FLAIR MR.
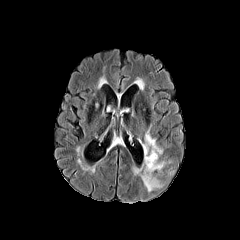
T1-weighted magnetic resonance.
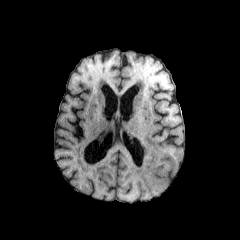
Post-contrast T1-weighted MR image.
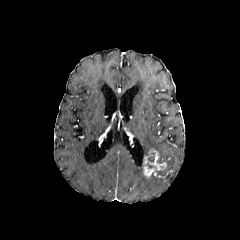
T2-weighted MR image.
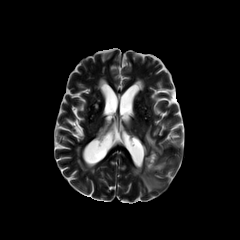
Axial view; Head
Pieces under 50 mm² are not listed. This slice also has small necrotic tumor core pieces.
<segmentation>
  <peritumoral_edema>[x1=133, y1=166, x2=161, y2=192], [x1=142, y1=129, x2=162, y2=156]</peritumoral_edema>
  <enhancing_tumor>[x1=143, y1=149, x2=165, y2=178]</enhancing_tumor>
</segmentation>